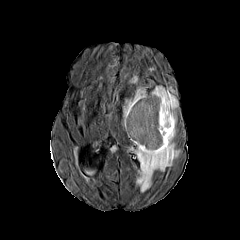
FLAIR magnetic resonance.
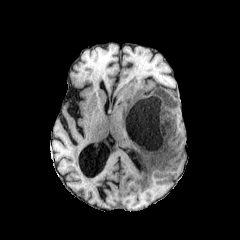
T1-weighted magnetic resonance of the same slice.
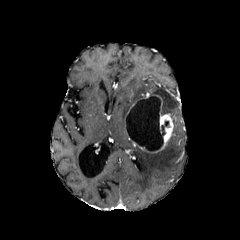
Same slice, post-contrast T1-weighted MR image.
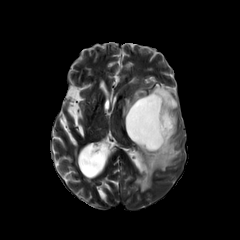
T2-weighted MRI of the same slice.
Axial view; Head
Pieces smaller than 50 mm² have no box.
Annotated regions:
• peritumoral edema: <bbox>151, 86, 178, 117</bbox>, <bbox>133, 118, 180, 192</bbox>, <bbox>123, 87, 145, 125</bbox>
• necrotic tumor core: <bbox>126, 94, 169, 151</bbox>
• enhancing tumor: <bbox>132, 95, 173, 153</bbox>